Axial slice; Slice 46/155; 240x240 px
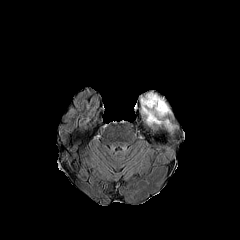
FLAIR MRI.
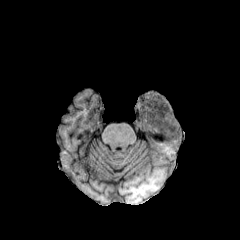
T1-weighted magnetic resonance.
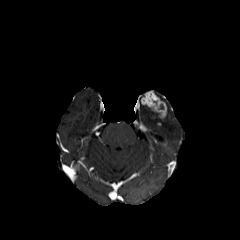
Post-contrast T1-weighted magnetic resonance.
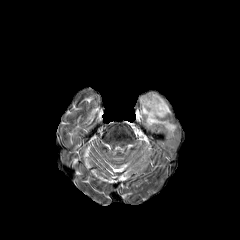
T2-weighted MR image of the same slice.
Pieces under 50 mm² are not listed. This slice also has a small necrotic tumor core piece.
{
  "enhancing_tumor": [
    "rect(141, 91, 167, 120)"
  ],
  "peritumoral_edema": [
    "rect(141, 104, 177, 133)"
  ]
}